Slice index 95. Axial slice.
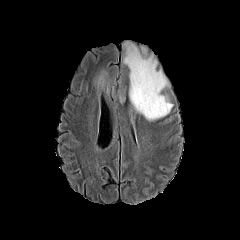
FLAIR MRI.
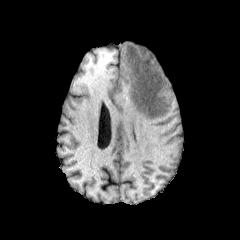
T1-weighted MR.
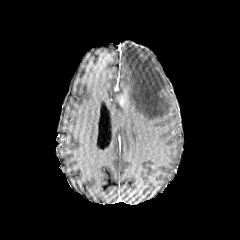
Same slice, post-contrast T1-weighted MR.
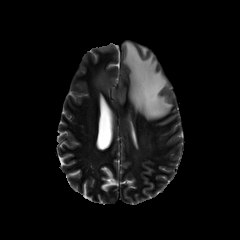
T2-weighted magnetic resonance.
peritumoral_edema:
  - left=122, top=40, right=172, bottom=120
  - left=140, top=44, right=147, bottom=54
  - left=117, top=86, right=125, bottom=104
  - left=92, top=67, right=110, bottom=97